FLAIR MR image.
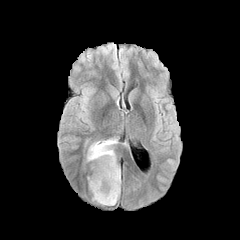
T1-weighted magnetic resonance.
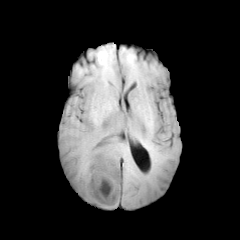
Post-contrast T1-weighted MR image.
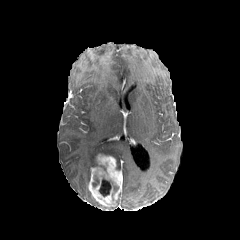
T2-weighted MR.
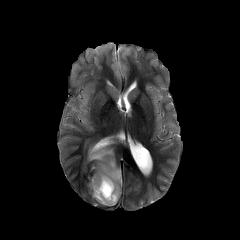
Axial slice; Head
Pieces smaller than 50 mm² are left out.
<segmentation>
  <peritumoral_edema>87, 140, 117, 161</peritumoral_edema>
  <enhancing_tumor>88, 154, 122, 206</enhancing_tumor>
  <necrotic_tumor_core>92, 175, 99, 186; 99, 177, 111, 196</necrotic_tumor_core>
</segmentation>